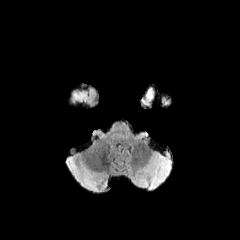
FLAIR magnetic resonance.
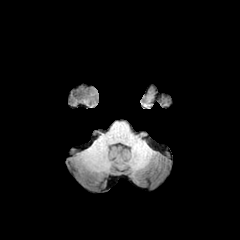
T1-weighted magnetic resonance.
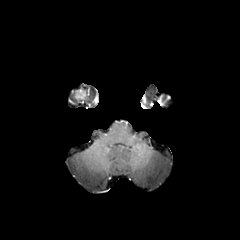
Post-contrast T1-weighted MR.
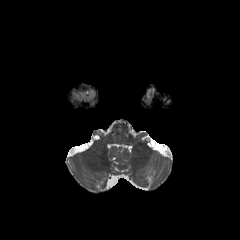
Same slice, T2-weighted MRI.
• enhancing tumor: (left=72, top=88, right=89, bottom=102)